Image width 240 mm, 1.00 mm slice spacing | Brain | Slice index 46
FLAIR MR image.
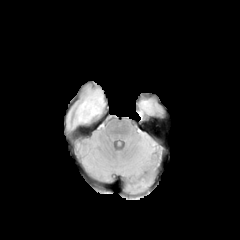
T1-weighted MRI.
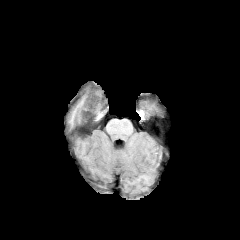
Post-contrast T1-weighted MR.
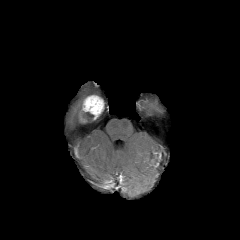
T2-weighted magnetic resonance.
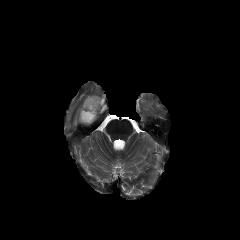
peritumoral edema: bounding box {"x1": 66, "y1": 87, "x2": 102, "y2": 127}
enhancing tumor: bounding box {"x1": 78, "y1": 95, "x2": 104, "y2": 124}
necrotic tumor core: bounding box {"x1": 83, "y1": 112, "x2": 93, "y2": 120}